240x240 px. Axial plane. Head.
FLAIR MR.
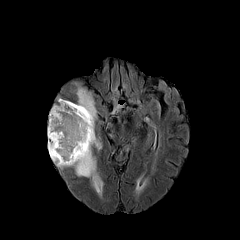
T1-weighted MR image.
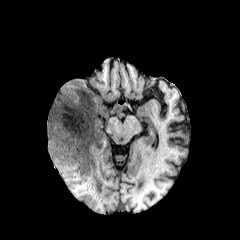
Post-contrast T1-weighted magnetic resonance.
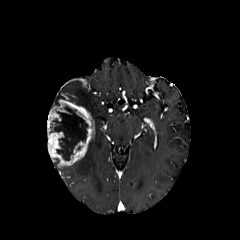
T2-weighted MRI.
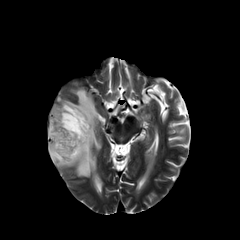
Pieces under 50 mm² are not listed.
The 2 largest peritumoral edema regions appear at (left=70, top=132, right=103, bottom=195), (left=75, top=87, right=97, bottom=121). The largest necrotic tumor core region is bounded by (left=50, top=106, right=88, bottom=160). The largest enhancing tumor region appears at (left=47, top=99, right=94, bottom=167).